FLAIR MRI.
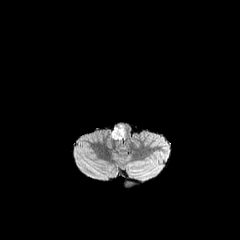
T1-weighted MR image.
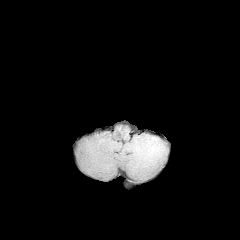
Post-contrast T1-weighted magnetic resonance.
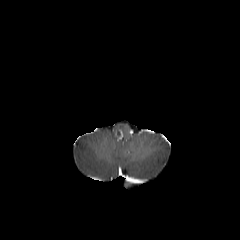
T2-weighted MR image.
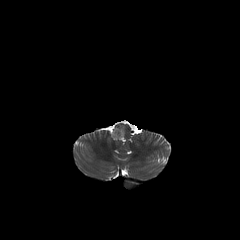
Brain
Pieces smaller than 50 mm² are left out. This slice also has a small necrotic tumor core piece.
The enhancing tumor appears at [x1=115, y1=129, x2=122, y2=140]. The peritumoral edema appears at [x1=111, y1=123, x2=125, y2=139].